FLAIR MR.
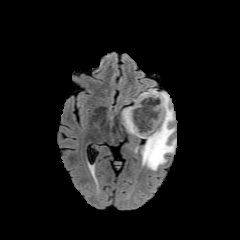
T1-weighted MR image.
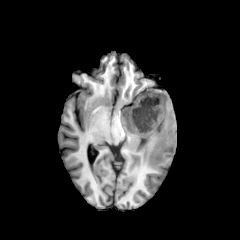
Post-contrast T1-weighted MR image.
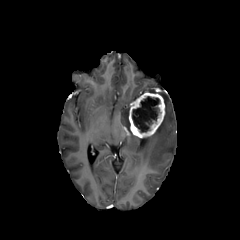
T2-weighted MR image.
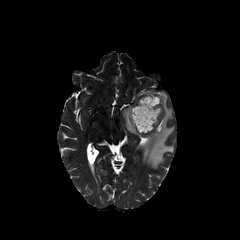
Brain | Axial plane
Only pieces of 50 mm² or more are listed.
enhancing tumor: left=129, top=92, right=165, bottom=137 | peritumoral edema: left=122, top=107, right=132, bottom=133; left=141, top=89, right=176, bottom=170 | necrotic tumor core: left=132, top=96, right=159, bottom=132